Head | 240x240 px | Slice 67/155
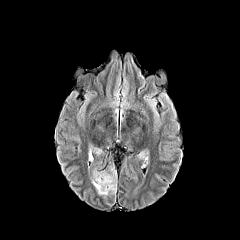
FLAIR MR image.
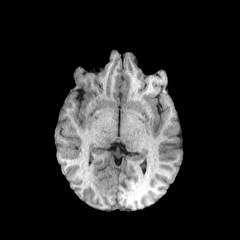
Same slice, T1-weighted MR.
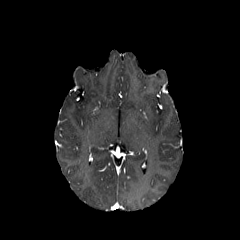
Same slice, post-contrast T1-weighted MRI.
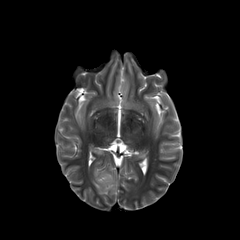
Same slice, T2-weighted magnetic resonance.
* peritumoral edema: x1=91, y1=168, x2=116, y2=195